FLAIR MRI.
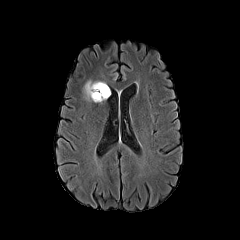
T1-weighted MR image.
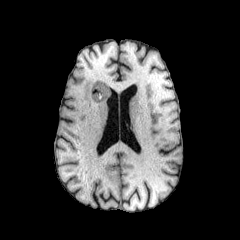
Post-contrast T1-weighted MR.
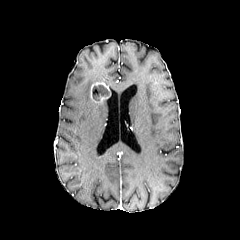
T2-weighted MRI.
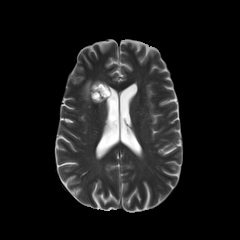
Brain
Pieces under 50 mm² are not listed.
<segmentation>
  <enhancing_tumor>rect(90, 82, 110, 103)</enhancing_tumor>
  <necrotic_tumor_core>rect(92, 85, 109, 100)</necrotic_tumor_core>
  <peritumoral_edema>rect(83, 80, 93, 100)</peritumoral_edema>
</segmentation>